FLAIR magnetic resonance.
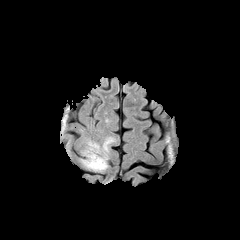
T1-weighted MRI.
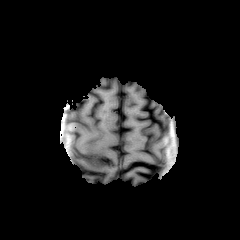
Post-contrast T1-weighted MRI.
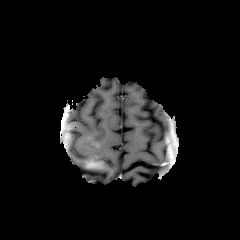
T2-weighted MR.
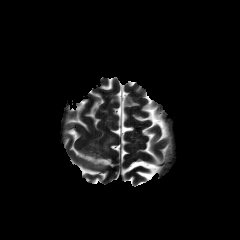
Head. Image size 240x240.
enhancing tumor — <box>86,156,103,168</box>
peritumoral edema — <box>81,137,114,171</box>